FLAIR MR.
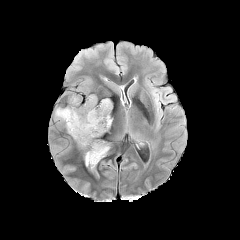
T1-weighted MR image.
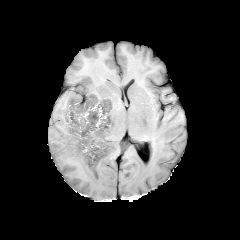
Post-contrast T1-weighted MR image.
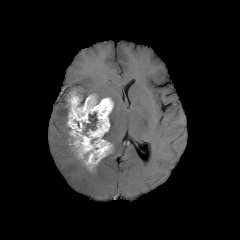
T2-weighted MR image.
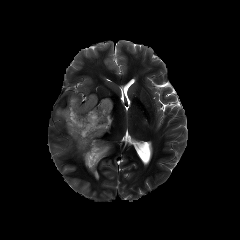
Axial view.
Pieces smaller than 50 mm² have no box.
necrotic tumor core: bounding box region(83, 112, 97, 133)
enhancing tumor: bounding box region(67, 91, 113, 171)
peritumoral edema: bounding box region(55, 106, 69, 133)